Brain. Image covers 240 mm x 240 mm. Slice 101 of 155.
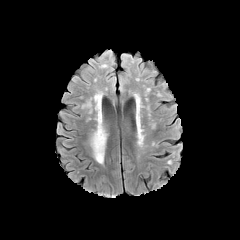
FLAIR MRI.
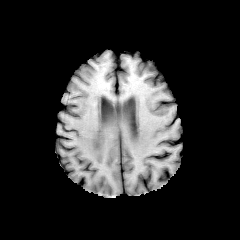
T1-weighted MR.
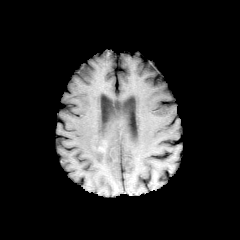
Post-contrast T1-weighted MRI of the same slice.
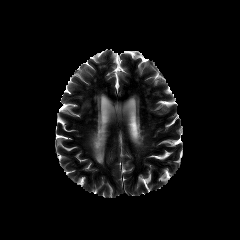
T2-weighted MR image.
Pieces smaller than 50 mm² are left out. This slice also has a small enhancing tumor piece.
peritumoral edema at (91, 119, 106, 163)